240x240; Image width 240 mm; Axial slice
FLAIR magnetic resonance.
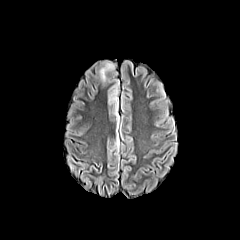
T1-weighted MR image.
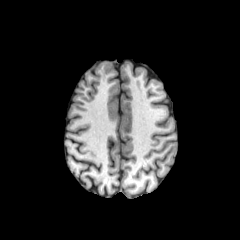
Post-contrast T1-weighted magnetic resonance.
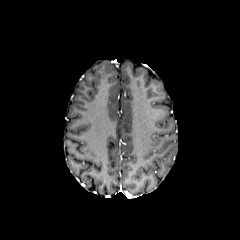
T2-weighted MR.
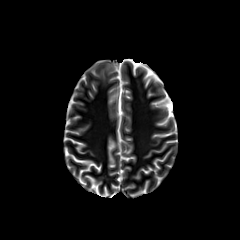
The peritumoral edema is located at <box>100,63,114,81</box>.